FLAIR MRI.
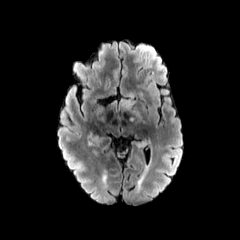
T1-weighted MR image.
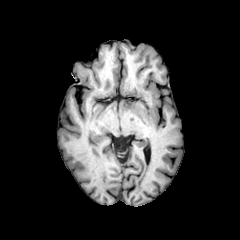
Post-contrast T1-weighted MRI.
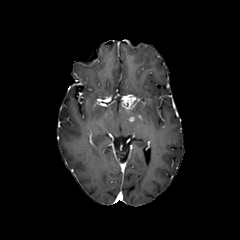
T2-weighted magnetic resonance.
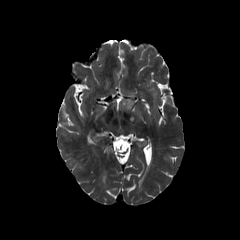
Head.
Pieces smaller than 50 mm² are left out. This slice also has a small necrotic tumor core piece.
peritumoral edema: bounding box region(131, 107, 140, 116); region(137, 139, 146, 148)
enhancing tumor: bounding box region(121, 94, 136, 110)